FLAIR MRI.
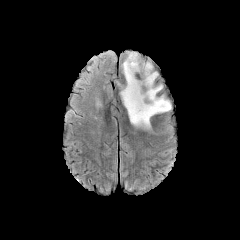
T1-weighted magnetic resonance.
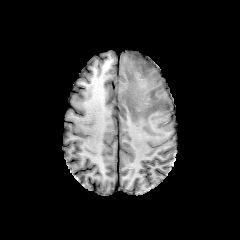
Post-contrast T1-weighted MR image.
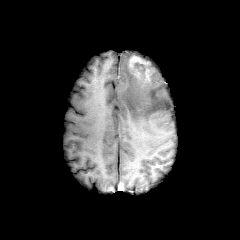
T2-weighted MR image.
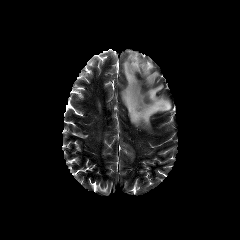
Brain. 240x240 px.
<segmentation>
  <peritumoral_edema>(120, 51, 171, 128)</peritumoral_edema>
  <enhancing_tumor>(129, 55, 151, 80)</enhancing_tumor>
  <necrotic_tumor_core>(134, 63, 145, 75)</necrotic_tumor_core>
</segmentation>